Brain
FLAIR magnetic resonance.
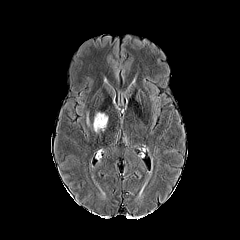
T1-weighted magnetic resonance.
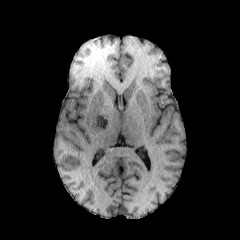
Post-contrast T1-weighted magnetic resonance.
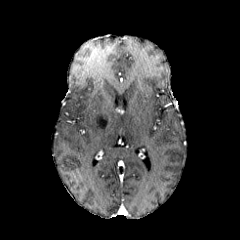
T2-weighted MR.
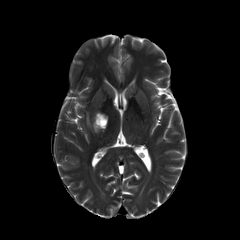
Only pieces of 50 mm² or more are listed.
<segmentation>
  <peritumoral_edema>x1=93 y1=113 x2=107 y2=132</peritumoral_edema>
</segmentation>